Slice 79 of 155, Brain, Axial slice
FLAIR MR.
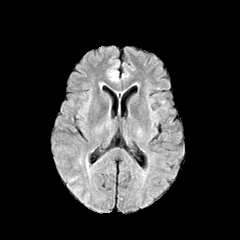
T1-weighted magnetic resonance.
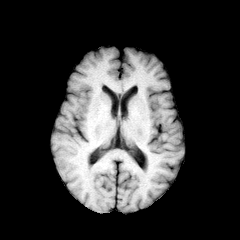
Post-contrast T1-weighted MR image.
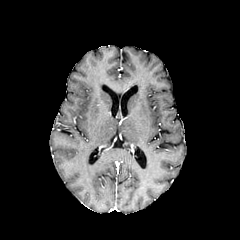
T2-weighted MR.
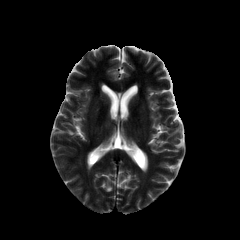
Annotated regions:
* peritumoral edema: bbox(110, 71, 118, 81)